240x240, Brain
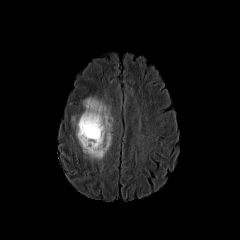
FLAIR magnetic resonance.
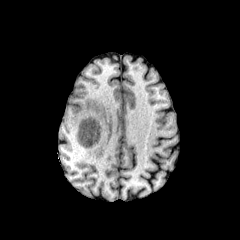
T1-weighted magnetic resonance of the same slice.
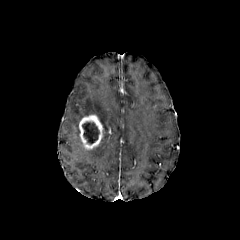
Same slice, post-contrast T1-weighted MRI.
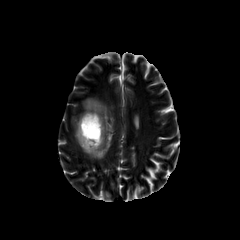
T2-weighted MR image of the same slice.
<segmentation>
  <enhancing_tumor>x1=79, y1=114, x2=104, y2=150</enhancing_tumor>
  <necrotic_tumor_core>x1=82, y1=122, x2=98, y2=143</necrotic_tumor_core>
  <peritumoral_edema>x1=72, y1=97, x2=112, y2=159</peritumoral_edema>
</segmentation>